Brain. Slice 51/155.
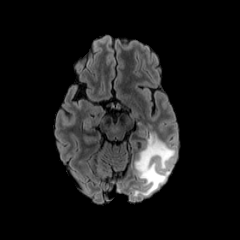
FLAIR MRI.
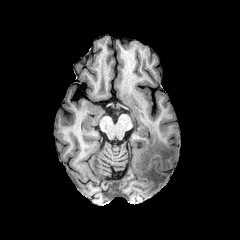
T1-weighted MRI of the same slice.
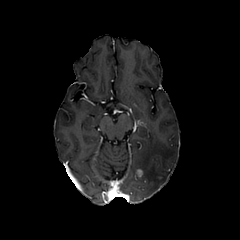
Post-contrast T1-weighted MR.
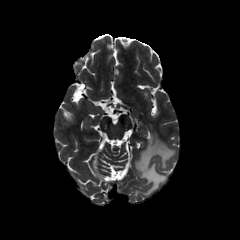
T2-weighted magnetic resonance.
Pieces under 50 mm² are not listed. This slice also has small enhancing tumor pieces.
The largest peritumoral edema region is at 134:134:175:196.